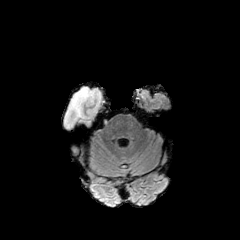
FLAIR MRI.
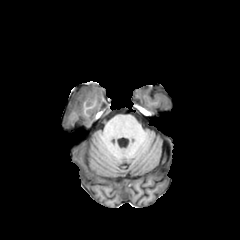
T1-weighted MR.
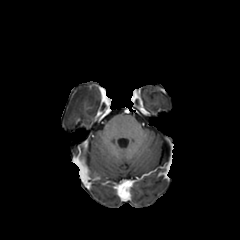
Post-contrast T1-weighted MR.
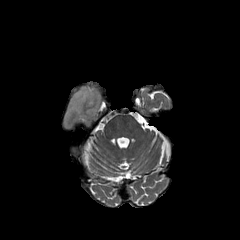
T2-weighted MR.
peritumoral edema: 64:86:101:132